Axial slice. Slice index 83.
FLAIR MR image.
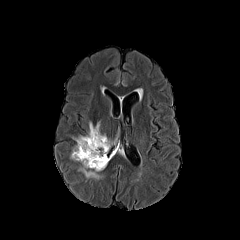
T1-weighted MR image.
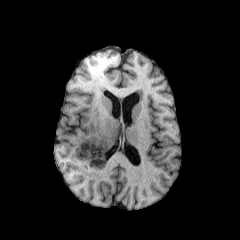
Post-contrast T1-weighted MR image.
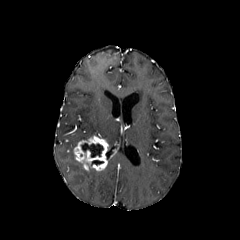
T2-weighted MRI.
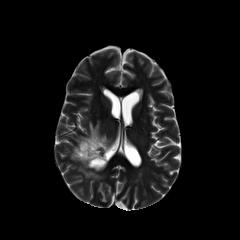
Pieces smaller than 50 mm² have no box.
peritumoral_edema:
  - (78, 163, 101, 179)
  - (100, 134, 113, 146)
  - (73, 122, 99, 143)
enhancing_tumor:
  - (73, 134, 110, 170)
necrotic_tumor_core:
  - (81, 143, 103, 157)